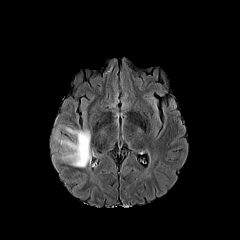
FLAIR MR image.
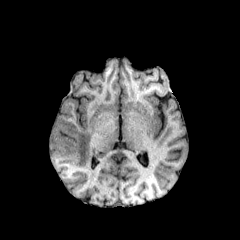
Same slice, T1-weighted MRI.
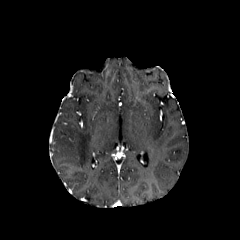
Same slice, post-contrast T1-weighted MR.
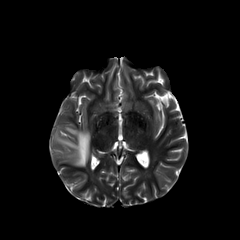
T2-weighted magnetic resonance.
Axial view
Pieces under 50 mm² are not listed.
The largest peritumoral edema region is bounded by (53, 125, 91, 167).